Axial slice
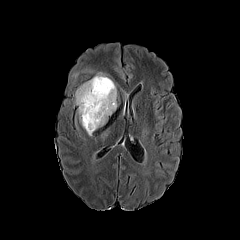
FLAIR MR image.
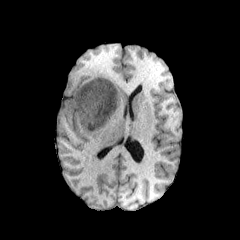
T1-weighted MR image.
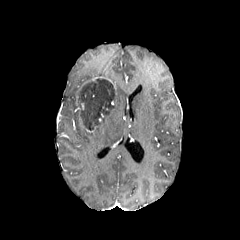
Post-contrast T1-weighted magnetic resonance of the same slice.
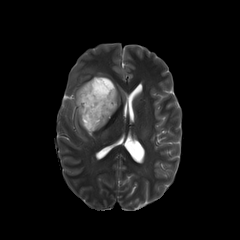
T2-weighted MR.
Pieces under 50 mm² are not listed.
enhancing tumor: [x1=84, y1=76, x2=116, y2=90] | necrotic tumor core: [x1=78, y1=79, x2=115, y2=130] | peritumoral edema: [x1=74, y1=84, x2=86, y2=107], [x1=77, y1=108, x2=86, y2=129], [x1=95, y1=89, x2=117, y2=130]